FLAIR MR.
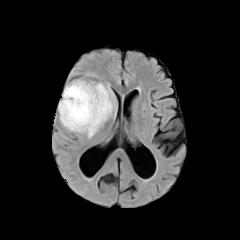
T1-weighted magnetic resonance.
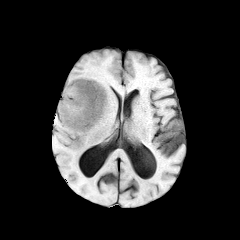
Post-contrast T1-weighted MR.
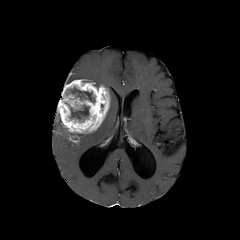
T2-weighted magnetic resonance.
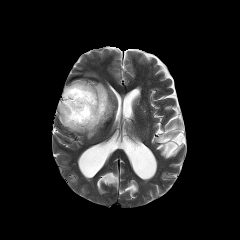
240x240 px | Brain
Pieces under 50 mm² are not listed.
enhancing tumor = 57 79 110 133
peritumoral edema = 85 128 98 138, 100 84 114 126
necrotic tumor core = 71 105 88 119, 70 88 94 101